240x240. Slice 75/155.
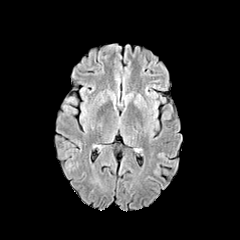
FLAIR MR image.
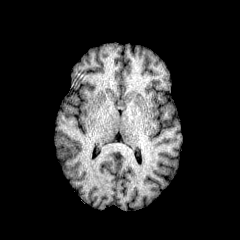
Same slice, T1-weighted MRI.
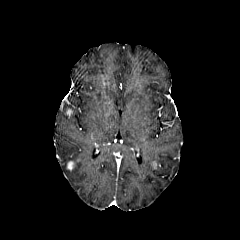
Post-contrast T1-weighted MR image.
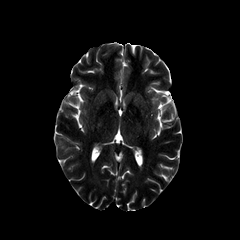
Same slice, T2-weighted magnetic resonance.
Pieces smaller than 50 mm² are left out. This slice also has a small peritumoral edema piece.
enhancing tumor: bbox=[67, 161, 73, 170]